Axial view | Image covers 240 mm x 240 mm
FLAIR MR.
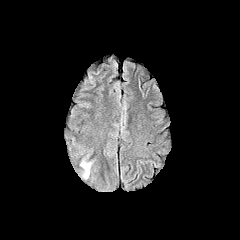
T1-weighted MR.
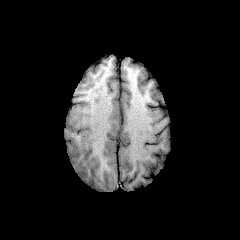
Post-contrast T1-weighted magnetic resonance.
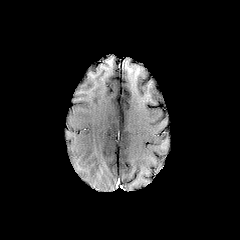
T2-weighted MRI.
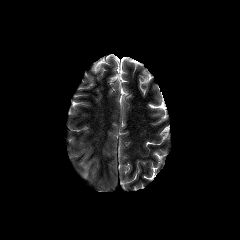
The peritumoral edema appears at left=81, top=162, right=89, bottom=178.